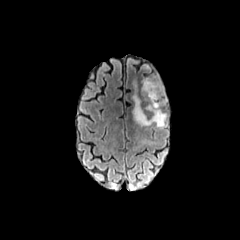
FLAIR magnetic resonance.
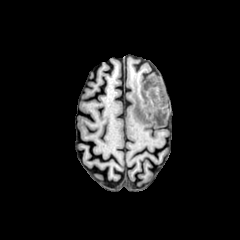
T1-weighted MRI of the same slice.
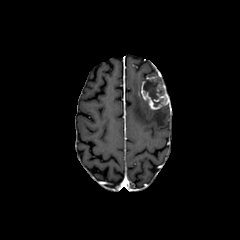
Post-contrast T1-weighted magnetic resonance of the same slice.
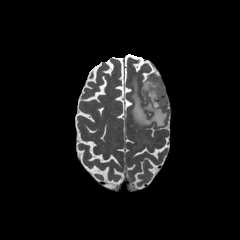
T2-weighted MRI of the same slice.
Axial slice, 240x240 px
<segmentation>
  <peritumoral_edema>(left=132, top=81, right=167, bottom=127)</peritumoral_edema>
  <necrotic_tumor_core>(left=143, top=79, right=163, bottom=106)</necrotic_tumor_core>
  <enhancing_tumor>(left=140, top=76, right=168, bottom=109)</enhancing_tumor>
</segmentation>